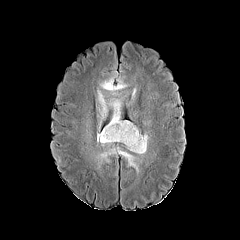
FLAIR MR.
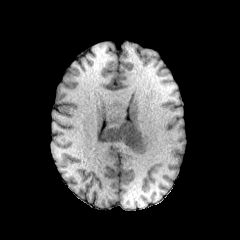
T1-weighted MRI of the same slice.
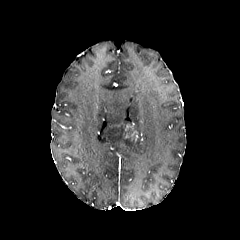
Post-contrast T1-weighted MRI.
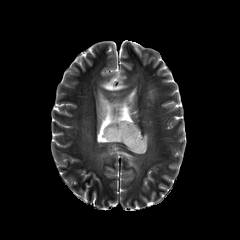
Same slice, T2-weighted magnetic resonance.
Image size 240x240; Axial slice
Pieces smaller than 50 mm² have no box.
Segmented structures:
- peritumoral edema: (97,89,148,154), (118,150,137,168), (100,78,126,96)
- enhancing tumor: (126,125,137,140)